FLAIR MR image.
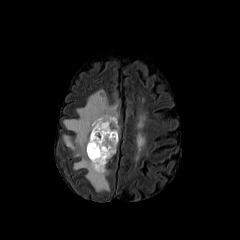
T1-weighted MRI.
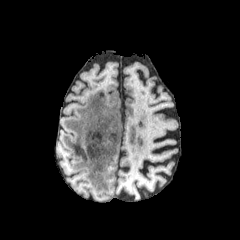
Post-contrast T1-weighted MRI.
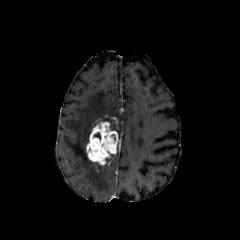
T2-weighted MR.
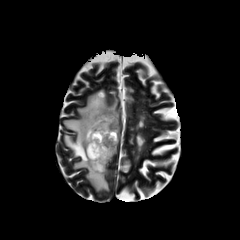
Head
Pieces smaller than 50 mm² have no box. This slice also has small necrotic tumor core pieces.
Segmented structures:
- enhancing tumor: box(104, 115, 117, 124); box(86, 118, 118, 171)
- peritumoral edema: box(63, 89, 119, 191)